FLAIR MRI.
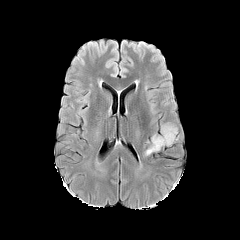
T1-weighted MR image.
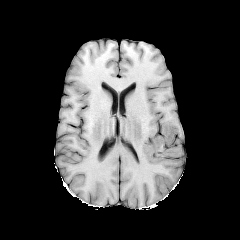
Post-contrast T1-weighted magnetic resonance.
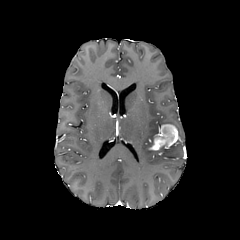
T2-weighted MR image.
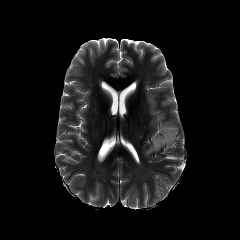
Axial plane.
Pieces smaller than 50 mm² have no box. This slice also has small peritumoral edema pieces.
Segmented structures:
- enhancing tumor: (x1=149, y1=124, x2=178, y2=150)